FLAIR MR.
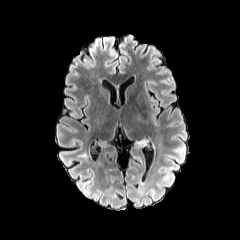
T1-weighted MRI.
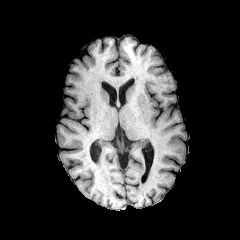
Post-contrast T1-weighted MRI.
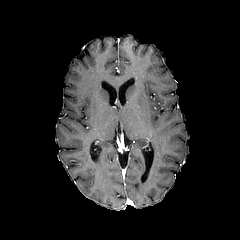
T2-weighted MR image.
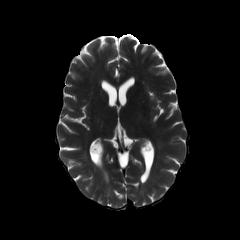
Axial plane.
{"peritumoral_edema": ["box(135, 139, 147, 146)"]}